Slice index 106 | 240x240 px
FLAIR MR.
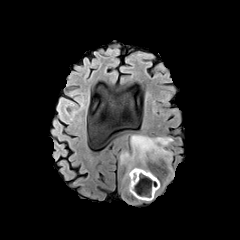
T1-weighted magnetic resonance.
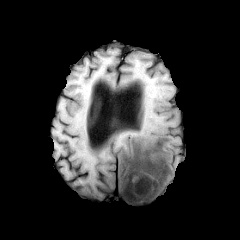
Post-contrast T1-weighted MR image.
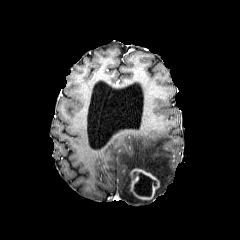
T2-weighted MR image.
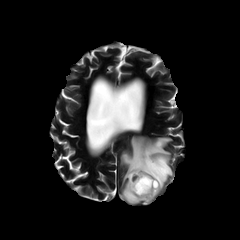
Findings:
* necrotic tumor core: x1=134 y1=173 x2=156 y2=196
* enhancing tumor: x1=130 y1=168 x2=159 y2=200
* peritumoral edema: x1=120 y1=135 x2=174 y2=203